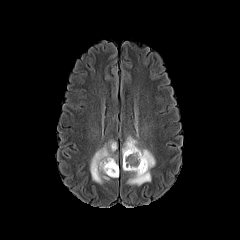
FLAIR MR.
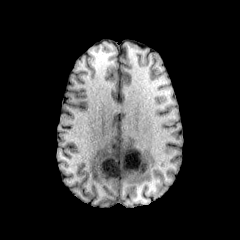
T1-weighted MR image.
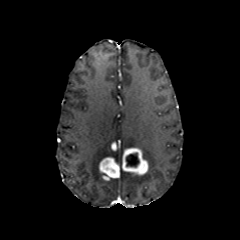
Post-contrast T1-weighted MR image.
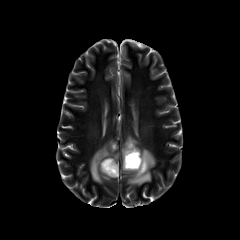
T2-weighted MR.
Axial slice
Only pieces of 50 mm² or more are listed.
enhancing tumor: 99:157:119:180, 122:147:148:175 | peritumoral edema: 90:140:117:183, 121:135:155:185 | necrotic tumor core: 126:153:139:166